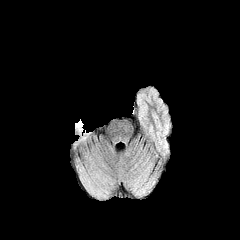
FLAIR MR image.
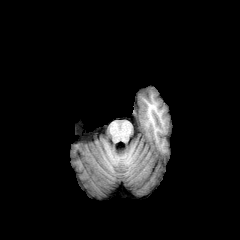
T1-weighted MR image.
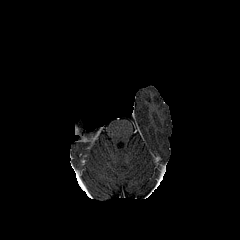
Post-contrast T1-weighted MR image of the same slice.
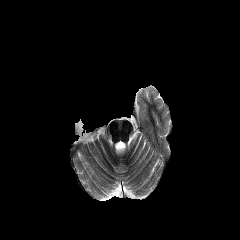
T2-weighted MR image of the same slice.
Image size 240x240, Axial view
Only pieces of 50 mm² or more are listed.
The enhancing tumor is at (75, 126, 90, 141). The largest peritumoral edema region appears at (75, 119, 83, 135).